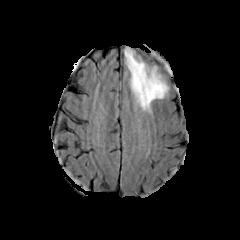
FLAIR magnetic resonance.
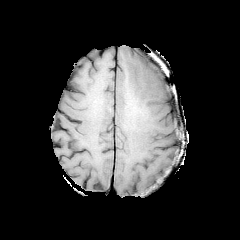
T1-weighted MR image.
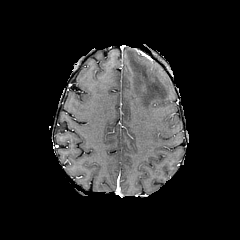
Post-contrast T1-weighted MR image.
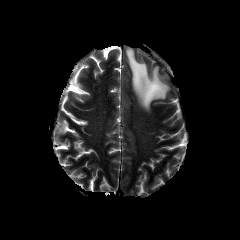
T2-weighted MRI of the same slice.
Axial view; Brain
The peritumoral edema lies within rect(125, 47, 168, 111).